Brain. Axial slice.
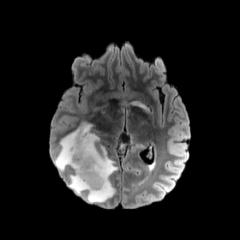
FLAIR MR.
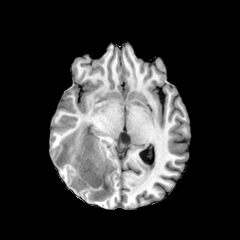
T1-weighted MRI of the same slice.
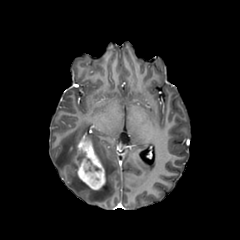
Post-contrast T1-weighted MR of the same slice.
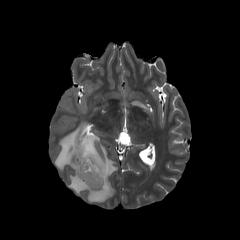
T2-weighted MR.
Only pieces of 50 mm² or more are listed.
enhancing tumor: bounding box [74, 135, 105, 190]
necrotic tumor core: bounding box [79, 152, 92, 164]
peritumoral edema: bounding box [54, 122, 117, 203]